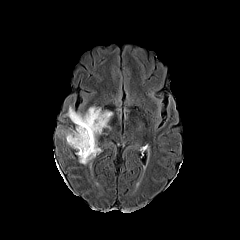
FLAIR MRI.
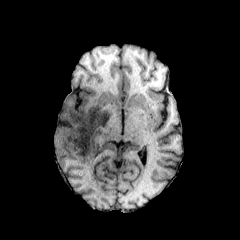
T1-weighted MR image of the same slice.
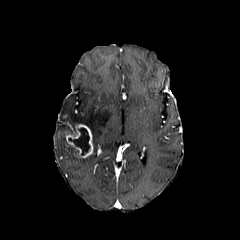
Same slice, post-contrast T1-weighted MRI.
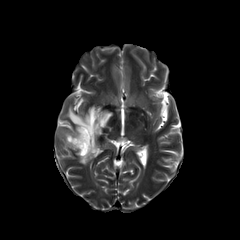
Same slice, T2-weighted MRI.
Brain | Axial plane
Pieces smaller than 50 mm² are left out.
The largest necrotic tumor core region lies within region(68, 128, 90, 155). The enhancing tumor lies within region(65, 124, 93, 158). The largest peritumoral edema region is bounded by region(63, 106, 112, 185).